Image size 240x240. Slice index 48.
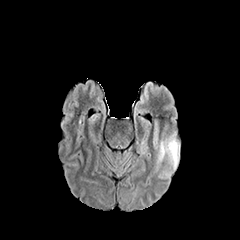
FLAIR magnetic resonance.
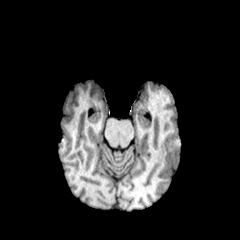
T1-weighted MR.
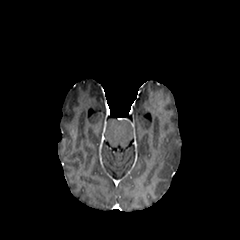
Post-contrast T1-weighted MR image.
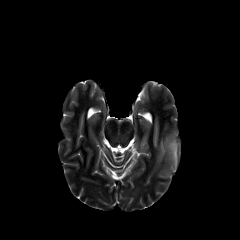
Same slice, T2-weighted MR.
peritumoral_edema:
  - 157:132:179:169
  - 159:167:171:177